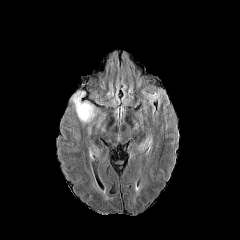
FLAIR MR.
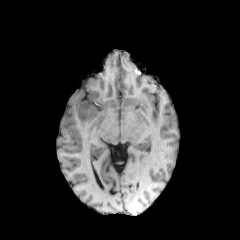
T1-weighted MR.
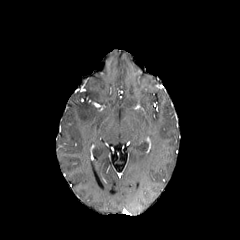
Post-contrast T1-weighted MR image of the same slice.
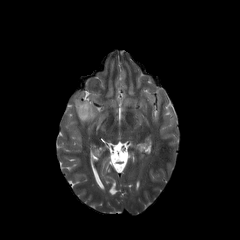
T2-weighted MR.
Image size 240x240. Brain.
<segmentation>
  <peritumoral_edema>(70, 89, 102, 128)</peritumoral_edema>
</segmentation>